Brain | 240x240 | Image covers 240 mm x 240 mm
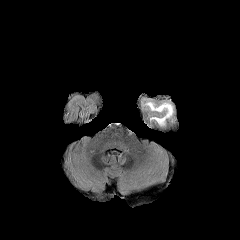
FLAIR MR image.
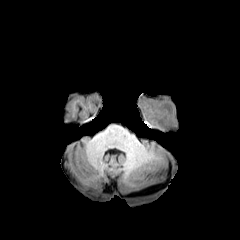
T1-weighted MR of the same slice.
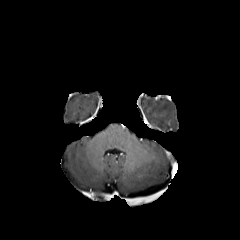
Post-contrast T1-weighted MR image.
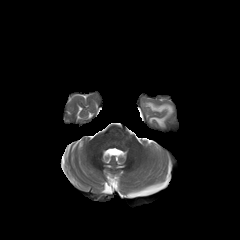
T2-weighted magnetic resonance.
<segmentation>
  <peritumoral_edema>l=153, t=117, r=165, b=124; l=148, t=103, r=172, b=116</peritumoral_edema>
</segmentation>